FLAIR magnetic resonance.
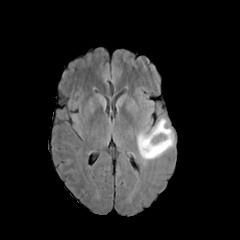
T1-weighted MR image.
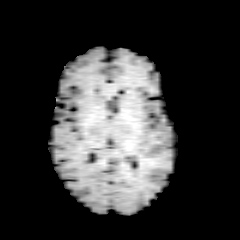
Post-contrast T1-weighted MR.
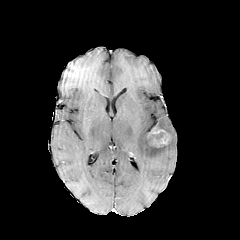
T2-weighted magnetic resonance.
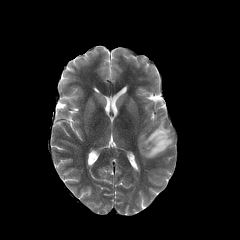
Axial slice. Image size 240x240. Brain.
necrotic tumor core — region(152, 132, 164, 139)
enhancing tumor — region(150, 128, 170, 146)
peritumoral edema — region(137, 118, 174, 160)